FLAIR magnetic resonance.
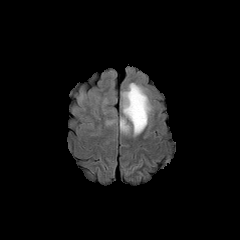
T1-weighted MRI.
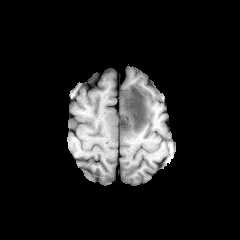
Post-contrast T1-weighted magnetic resonance.
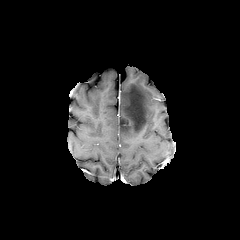
T2-weighted MR image.
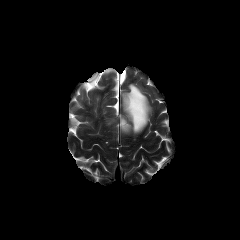
Brain
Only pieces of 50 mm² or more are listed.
peritumoral_edema:
  - box(120, 83, 151, 135)